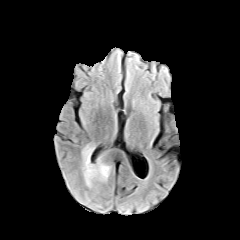
FLAIR MR image.
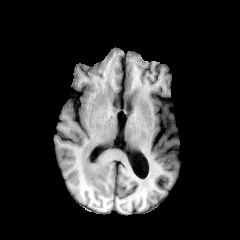
Same slice, T1-weighted MR.
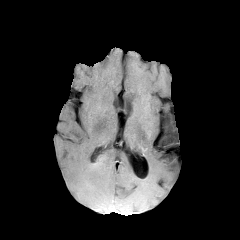
Post-contrast T1-weighted MR image.
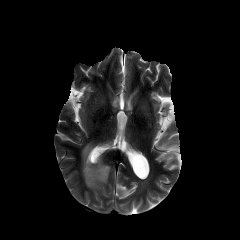
T2-weighted MRI.
Image size 240x240 | Head
The peritumoral edema lies within [x1=82, y1=144, x2=110, y2=187].